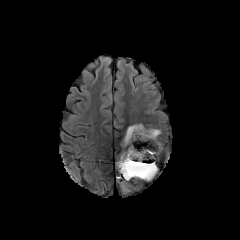
FLAIR MR image.
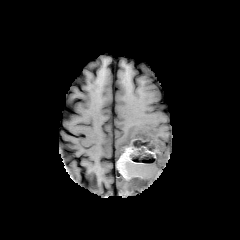
T1-weighted MR of the same slice.
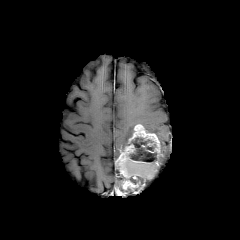
Post-contrast T1-weighted magnetic resonance of the same slice.
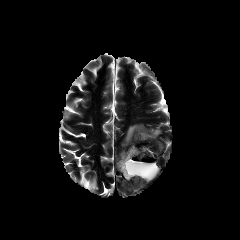
Same slice, T2-weighted MR.
Axial slice, 240x240
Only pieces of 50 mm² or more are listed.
The largest necrotic tumor core region is bounded by (left=126, top=137, right=157, bottom=184). The 2 largest enhancing tumor regions are bounded by (left=127, top=124, right=160, bottom=157), (left=117, top=144, right=141, bottom=189). The 2 largest peritumoral edema regions are bounded by (left=146, top=128, right=161, bottom=136), (left=122, top=124, right=136, bottom=147).